Axial slice | Brain | 240x240 | Slice index 60
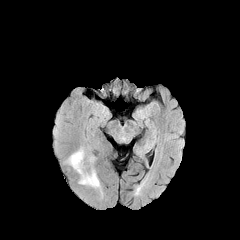
FLAIR MRI.
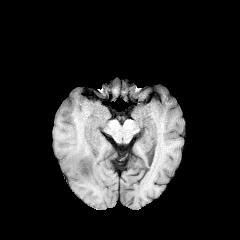
Same slice, T1-weighted magnetic resonance.
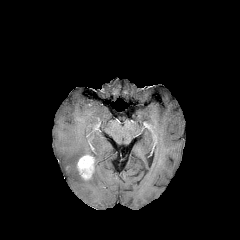
Post-contrast T1-weighted MRI.
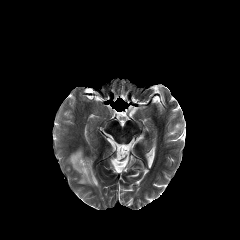
Same slice, T2-weighted MR.
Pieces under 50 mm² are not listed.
peritumoral edema at l=78, t=168, r=100, b=188; l=66, t=148, r=84, b=173
enhancing tumor at l=77, t=155, r=94, b=179